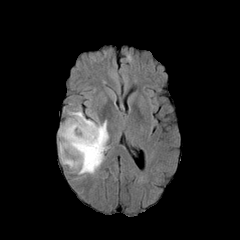
FLAIR magnetic resonance.
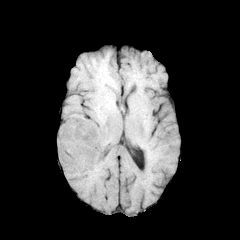
T1-weighted MR image.
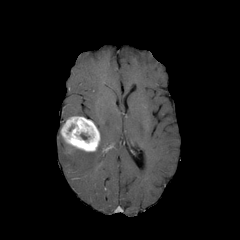
Post-contrast T1-weighted MR.
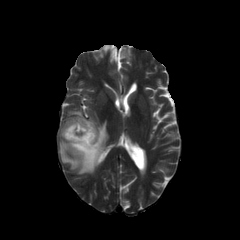
T2-weighted magnetic resonance of the same slice.
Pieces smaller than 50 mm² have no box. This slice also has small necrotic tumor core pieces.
The enhancing tumor lies within 60, 116, 100, 152. The 2 largest peritumoral edema regions are located at 59, 120, 108, 174; 68, 110, 83, 116.